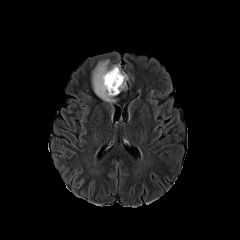
FLAIR MR.
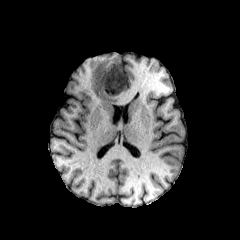
T1-weighted MRI of the same slice.
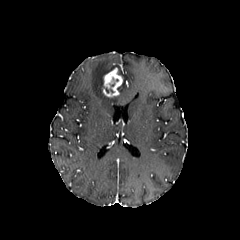
Same slice, post-contrast T1-weighted magnetic resonance.
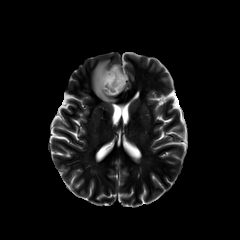
T2-weighted MRI.
Head
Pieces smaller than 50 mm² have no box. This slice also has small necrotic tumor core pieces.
peritumoral edema: box=[92, 60, 128, 103] | enhancing tumor: box=[102, 67, 123, 97]